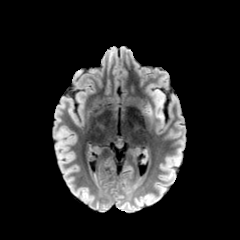
FLAIR MR.
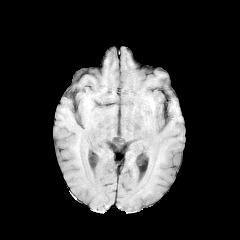
T1-weighted magnetic resonance of the same slice.
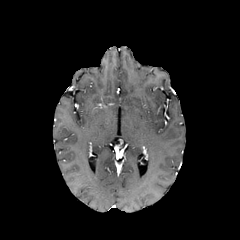
Post-contrast T1-weighted MR image.
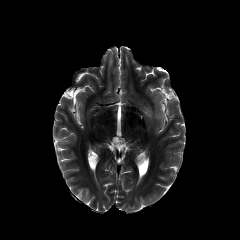
Same slice, T2-weighted MR.
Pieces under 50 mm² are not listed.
* peritumoral edema: [x1=155, y1=93, x2=163, y2=123]